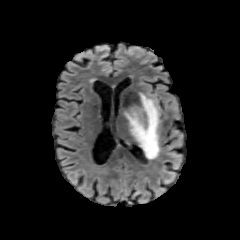
FLAIR magnetic resonance.
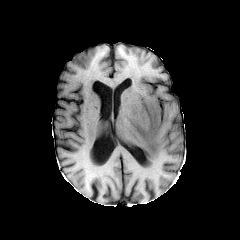
T1-weighted magnetic resonance of the same slice.
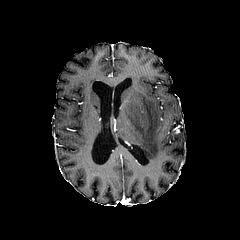
Post-contrast T1-weighted MR.
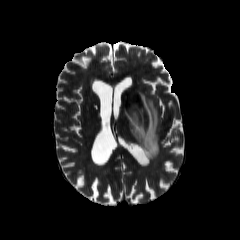
T2-weighted MR of the same slice.
240x240 px, Head
{
  "peritumoral_edema": [
    "l=117, t=92, r=159, b=159"
  ]
}